Axial plane, Image covers 240 mm x 240 mm, Brain, 240x240 px, Slice 79/155
FLAIR MR.
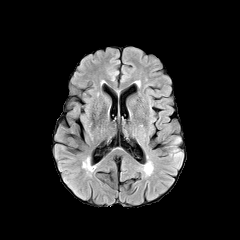
T1-weighted magnetic resonance.
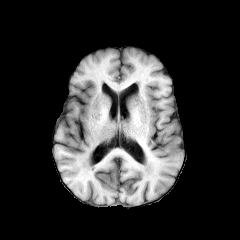
Post-contrast T1-weighted MR image.
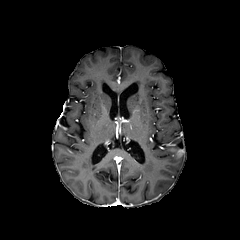
T2-weighted MR.
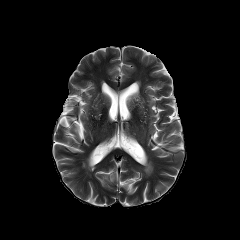
peritumoral edema = 171 138 180 149, 170 151 182 160
enhancing tumor = 171 149 183 156